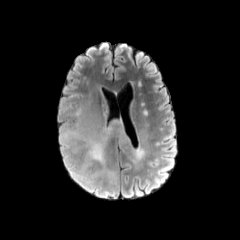
FLAIR MRI.
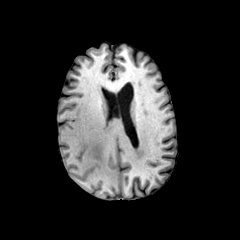
T1-weighted MRI.
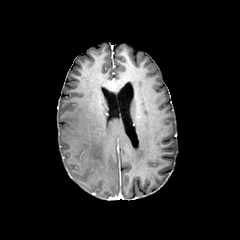
Post-contrast T1-weighted magnetic resonance.
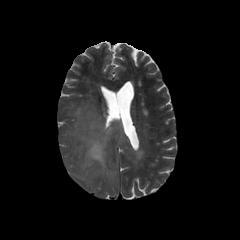
T2-weighted MR image of the same slice.
Image size 240x240
<segmentation>
  <peritumoral_edema>66 127 113 182</peritumoral_edema>
</segmentation>